Axial plane
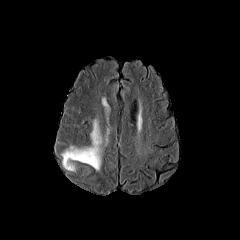
FLAIR MRI.
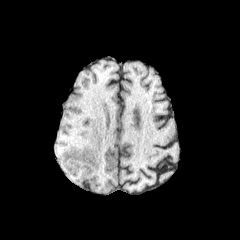
Same slice, T1-weighted magnetic resonance.
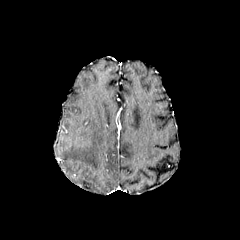
Post-contrast T1-weighted magnetic resonance of the same slice.
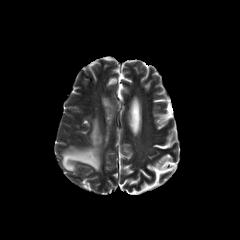
Same slice, T2-weighted MR image.
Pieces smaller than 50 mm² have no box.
peritumoral edema — (left=62, top=119, right=102, bottom=170)